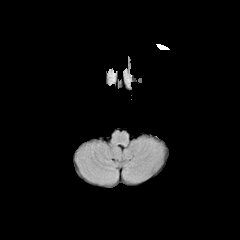
FLAIR magnetic resonance.
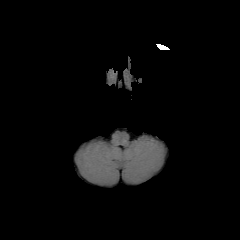
T1-weighted MR of the same slice.
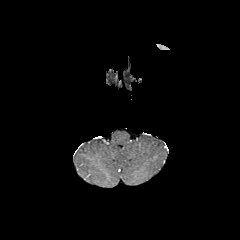
Post-contrast T1-weighted MR image.
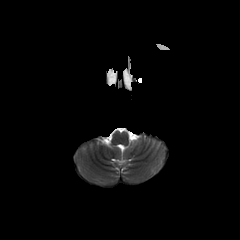
T2-weighted magnetic resonance of the same slice.
Image size 240x240
peritumoral edema = box=[107, 68, 117, 85]